FLAIR MR image.
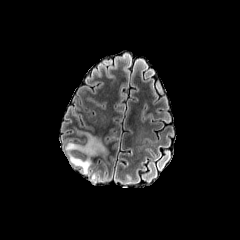
T1-weighted magnetic resonance.
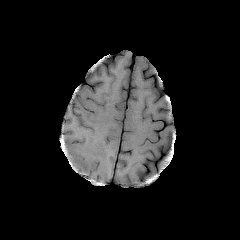
Post-contrast T1-weighted magnetic resonance.
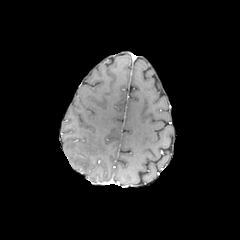
T2-weighted MR.
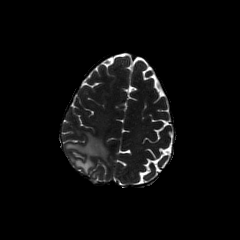
240x240
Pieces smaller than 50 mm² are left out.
Findings:
- peritumoral edema: <bbox>66, 133, 108, 174</bbox>